Head | Slice index 92 | Axial plane | 240x240
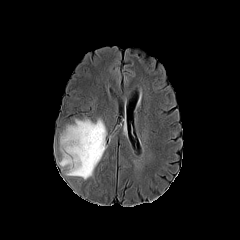
FLAIR MR.
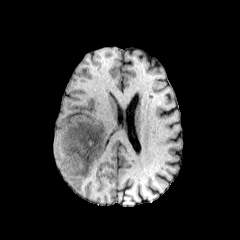
Same slice, T1-weighted MR image.
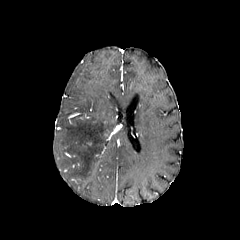
Post-contrast T1-weighted MR.
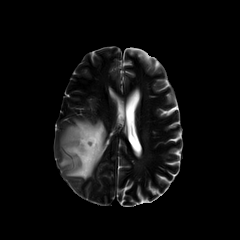
T2-weighted MRI.
peritumoral edema: bounding box [59, 119, 105, 179]